Axial slice
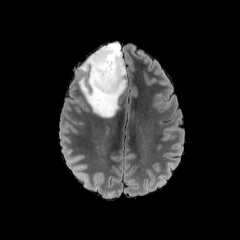
FLAIR magnetic resonance.
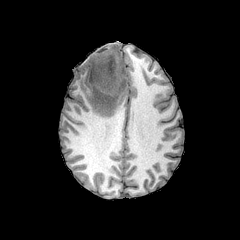
Same slice, T1-weighted MRI.
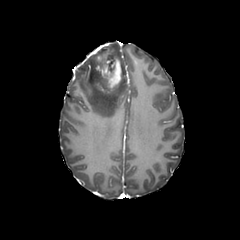
Post-contrast T1-weighted MR image of the same slice.
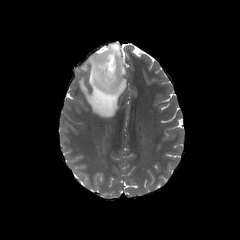
T2-weighted magnetic resonance.
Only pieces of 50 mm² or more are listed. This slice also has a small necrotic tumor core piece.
peritumoral edema — bbox(79, 42, 127, 117)
enhancing tumor — bbox(96, 59, 122, 88)